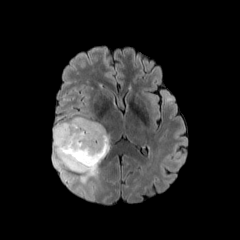
FLAIR MR.
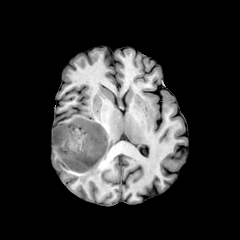
T1-weighted MR.
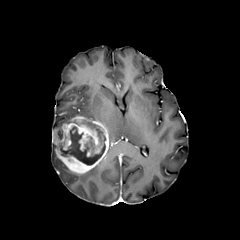
Post-contrast T1-weighted MRI.
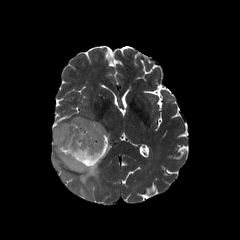
Same slice, T2-weighted magnetic resonance.
Brain.
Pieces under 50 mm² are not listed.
{"peritumoral_edema": ["box=[79, 164, 98, 183]", "box=[53, 144, 66, 168]"], "necrotic_tumor_core": ["box=[88, 123, 102, 140]", "box=[60, 126, 105, 165]"], "enhancing_tumor": ["box=[52, 116, 109, 173]"]}